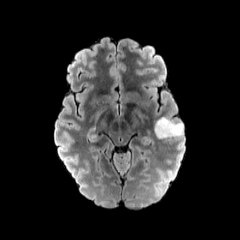
FLAIR magnetic resonance.
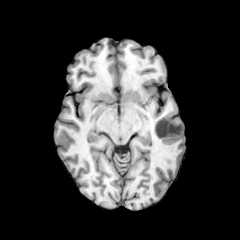
Same slice, T1-weighted MR image.
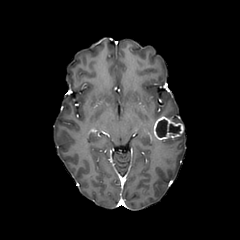
Same slice, post-contrast T1-weighted MR.
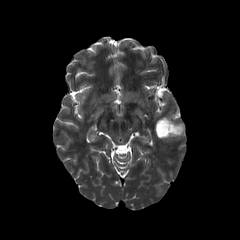
T2-weighted magnetic resonance.
Axial slice | Brain
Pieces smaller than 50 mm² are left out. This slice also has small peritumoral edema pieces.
2 necrotic tumor core regions appear at bbox=[168, 124, 180, 133]; bbox=[156, 119, 167, 137]. The enhancing tumor lies within bbox=[154, 116, 183, 139].